FLAIR MR image.
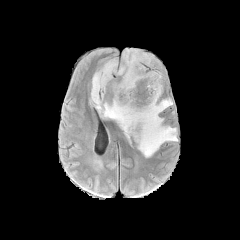
T1-weighted MRI.
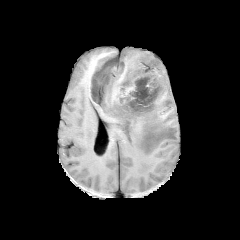
Post-contrast T1-weighted magnetic resonance.
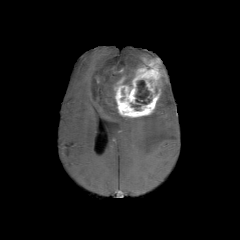
T2-weighted MR.
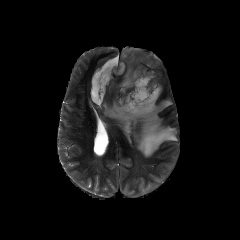
Axial view. Brain.
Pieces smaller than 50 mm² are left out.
enhancing tumor: <box>114,57,164,117</box>
peritumoral edema: <box>161,67,166,93</box>, <box>91,47,177,157</box>
necrotic tumor core: <box>136,80,151,104</box>